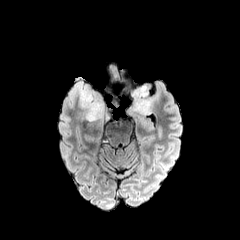
FLAIR MRI.
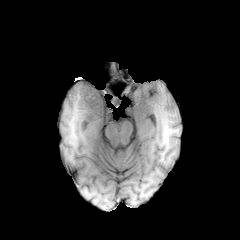
T1-weighted MR of the same slice.
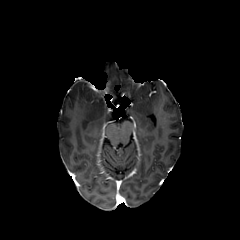
Post-contrast T1-weighted MR image.
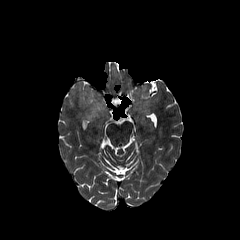
T2-weighted magnetic resonance of the same slice.
Axial slice. Head.
peritumoral edema: region(130, 85, 153, 116); region(75, 83, 103, 120)